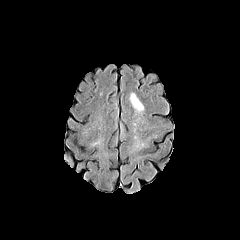
FLAIR magnetic resonance.
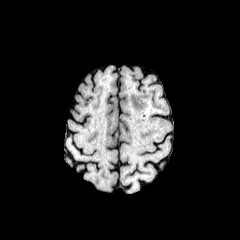
T1-weighted MR.
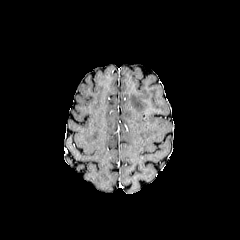
Post-contrast T1-weighted magnetic resonance.
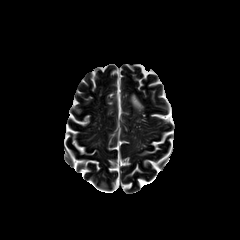
T2-weighted MR image.
Brain.
peritumoral edema: [130,93,143,111]